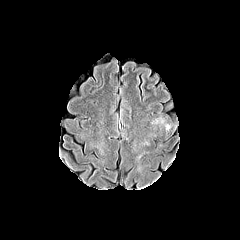
FLAIR MRI.
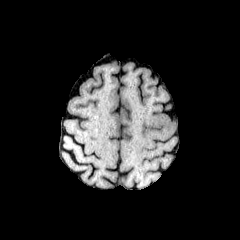
T1-weighted MR of the same slice.
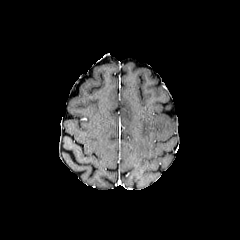
Post-contrast T1-weighted MR.
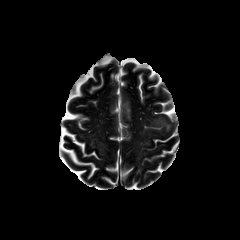
T2-weighted MR.
Head
The peritumoral edema appears at <box>151,116,171,130</box>.